Brain, Slice index 70
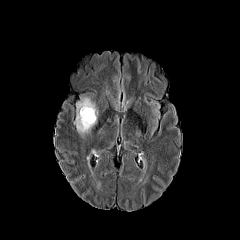
FLAIR MRI.
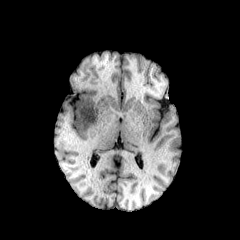
T1-weighted MR image.
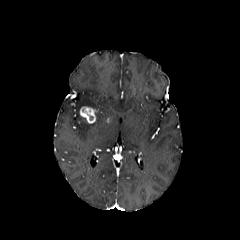
Same slice, post-contrast T1-weighted MR image.
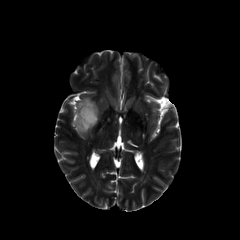
T2-weighted MR.
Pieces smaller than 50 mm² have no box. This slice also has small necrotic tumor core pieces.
Segmented structures:
* enhancing tumor: region(79, 106, 96, 123)
* peritumoral edema: region(74, 97, 96, 134)